FLAIR MR.
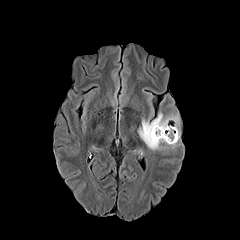
T1-weighted MR.
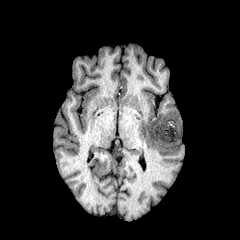
Post-contrast T1-weighted MR image.
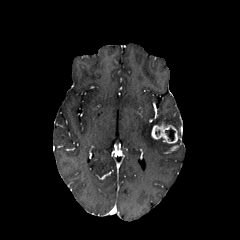
T2-weighted MRI.
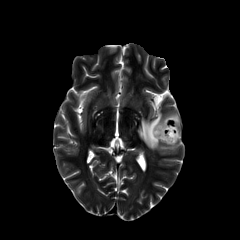
Brain
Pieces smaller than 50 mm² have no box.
peritumoral edema: {"x1": 137, "y1": 112, "x2": 182, "y2": 150} | enhancing tumor: {"x1": 151, "y1": 123, "x2": 178, "y2": 143} | necrotic tumor core: {"x1": 165, "y1": 128, "x2": 175, "y2": 141}